FLAIR MRI.
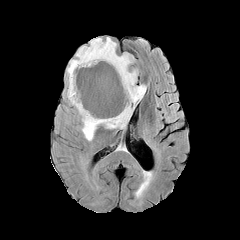
T1-weighted MR image.
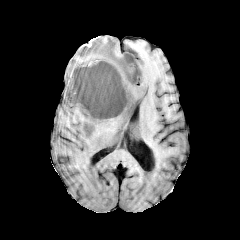
Post-contrast T1-weighted magnetic resonance.
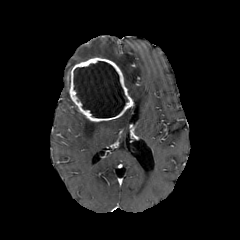
T2-weighted MR image.
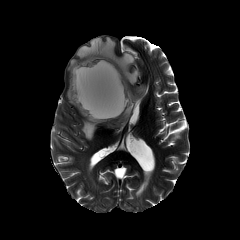
Head.
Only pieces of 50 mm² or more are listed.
Annotated regions:
- necrotic tumor core: box=[74, 61, 127, 117]
- enhancing tumor: box=[68, 57, 134, 121]
- peritumoral edema: box=[67, 37, 146, 140]